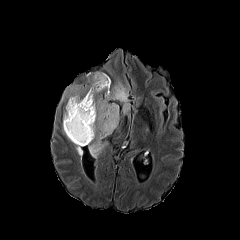
FLAIR MR.
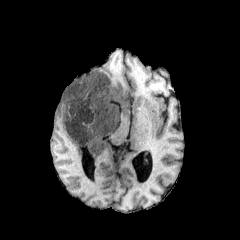
T1-weighted MRI of the same slice.
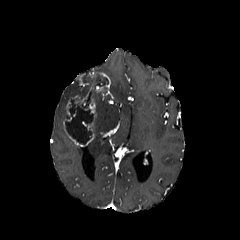
Post-contrast T1-weighted magnetic resonance.
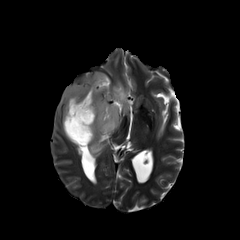
T2-weighted MR.
Head
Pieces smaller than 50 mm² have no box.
peritumoral edema: x1=88 y1=79 x2=129 y2=157, x1=75 y1=145 x2=82 y2=155, x1=60 y1=74 x2=89 y2=104 | necrotic tumor core: x1=94 y1=74 x2=108 y2=89, x1=65 y1=90 x2=95 y2=144 | enhancing tumor: x1=63 y1=72 x2=110 y2=146